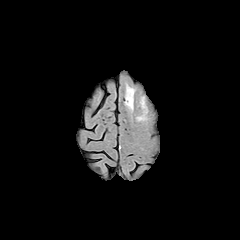
FLAIR MRI.
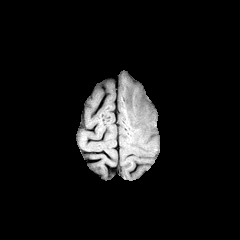
T1-weighted MR.
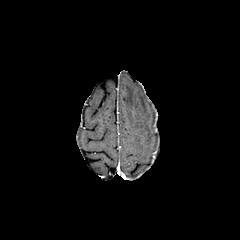
Post-contrast T1-weighted MR of the same slice.
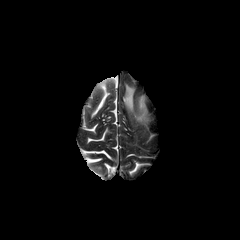
T2-weighted MR image of the same slice.
peritumoral edema = (left=136, top=97, right=147, bottom=120), (left=125, top=85, right=134, bottom=111)